Head
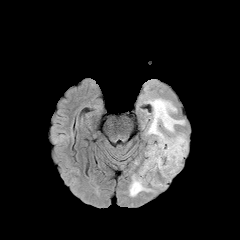
FLAIR MR.
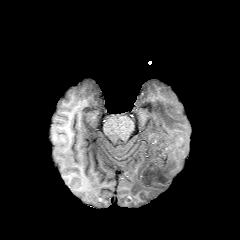
Same slice, T1-weighted magnetic resonance.
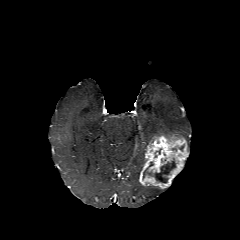
Post-contrast T1-weighted magnetic resonance of the same slice.
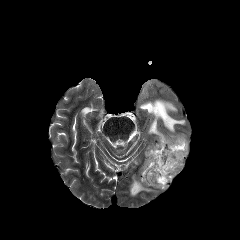
T2-weighted MRI of the same slice.
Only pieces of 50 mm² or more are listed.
Findings:
• peritumoral edema: <box>129,172,154,196</box>, <box>146,98,187,142</box>
• enhancing tumor: <box>139,134,188,189</box>
• necrotic tumor core: <box>155,161,175,182</box>